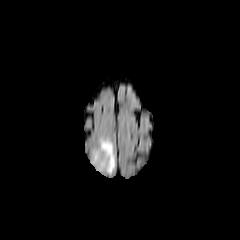
FLAIR magnetic resonance.
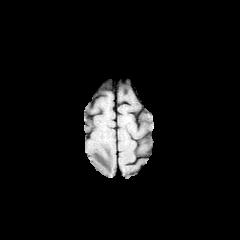
T1-weighted MR.
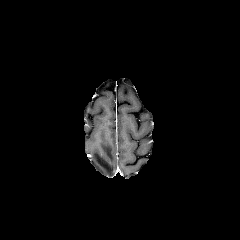
Post-contrast T1-weighted MR.
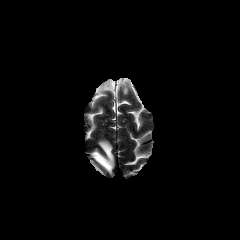
Same slice, T2-weighted MR image.
Head
peritumoral edema: x1=91 y1=139 x2=114 y2=174